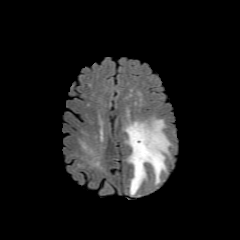
FLAIR MRI.
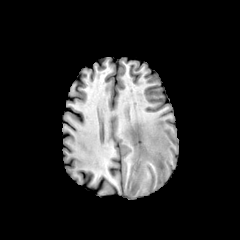
T1-weighted MR.
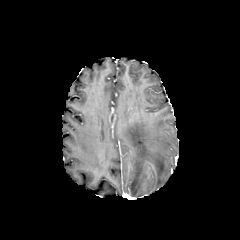
Post-contrast T1-weighted MRI.
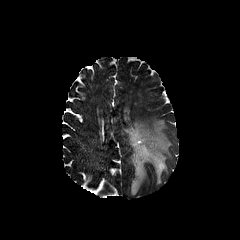
T2-weighted MR image.
Brain
peritumoral edema: box(124, 119, 171, 195)